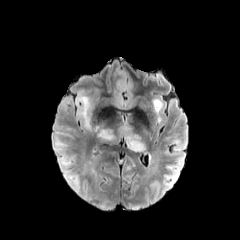
FLAIR magnetic resonance.
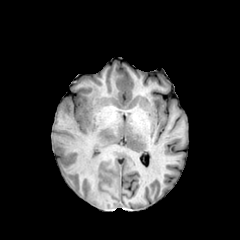
Same slice, T1-weighted magnetic resonance.
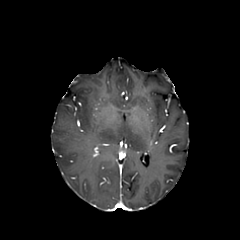
Same slice, post-contrast T1-weighted MRI.
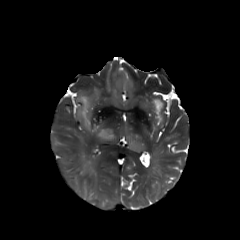
Same slice, T2-weighted MR.
Axial view.
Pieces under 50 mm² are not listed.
peritumoral edema: bounding box rect(76, 94, 114, 140); rect(122, 125, 144, 151); rect(153, 99, 162, 112)